Brain, Slice 80 of 155, Image covers 240 mm x 240 mm
FLAIR MR.
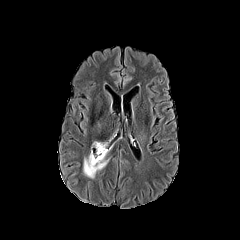
T1-weighted MR image.
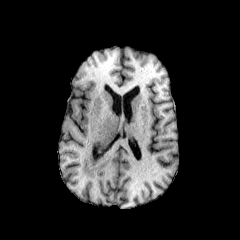
Post-contrast T1-weighted MR image.
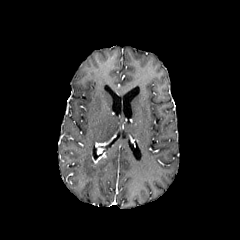
T2-weighted magnetic resonance.
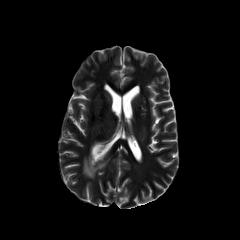
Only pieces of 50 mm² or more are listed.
{"enhancing_tumor": ["(92,152,105,163)"], "peritumoral_edema": ["(83,152,109,178)"]}